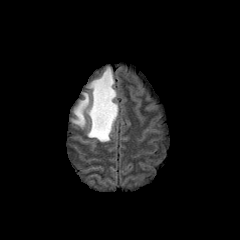
FLAIR MRI.
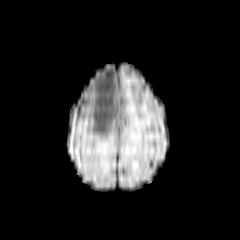
T1-weighted magnetic resonance.
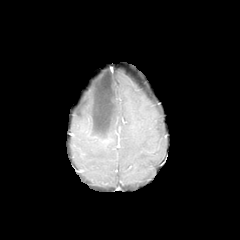
Same slice, post-contrast T1-weighted MRI.
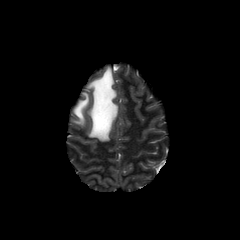
T2-weighted MRI.
Axial plane. Head.
peritumoral edema at (x1=72, y1=67, x2=118, y2=141)